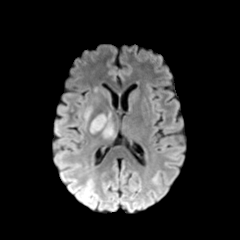
FLAIR MRI.
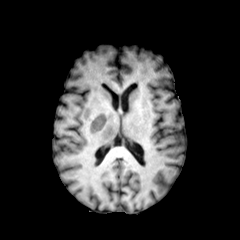
T1-weighted magnetic resonance of the same slice.
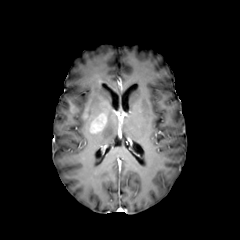
Post-contrast T1-weighted MRI.
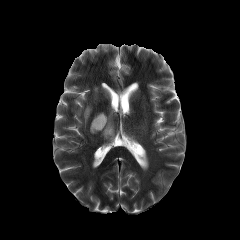
T2-weighted MRI.
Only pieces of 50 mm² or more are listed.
enhancing tumor = rect(90, 114, 106, 132)
peritumoral edema = rect(103, 115, 113, 137)